Brain. Image covers 240 mm x 240 mm. Axial plane.
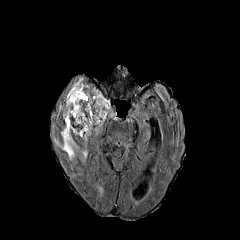
FLAIR MRI.
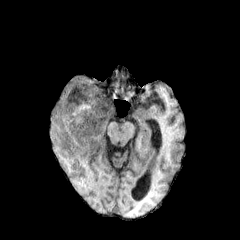
T1-weighted MR image.
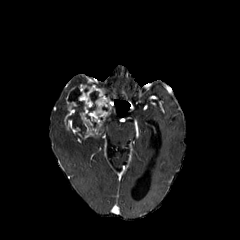
Same slice, post-contrast T1-weighted MR.
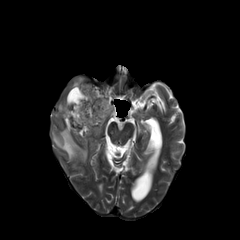
T2-weighted MRI.
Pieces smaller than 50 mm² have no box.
peritumoral edema: 72, 77, 83, 87; 53, 126, 87, 161; 59, 104, 67, 117 | enhancing tumor: 64, 84, 111, 139 | necrotic tumor core: 67, 87, 86, 136; 88, 91, 98, 112